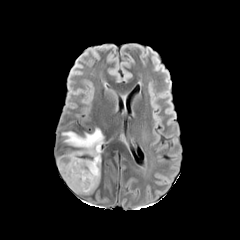
FLAIR MR image.
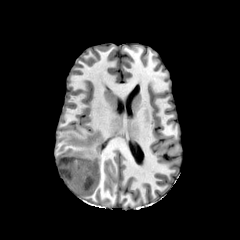
T1-weighted MR image.
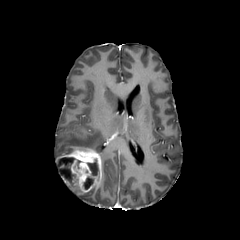
Post-contrast T1-weighted MR of the same slice.
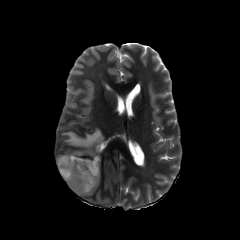
Same slice, T2-weighted MRI.
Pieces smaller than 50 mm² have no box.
enhancing tumor: (56,148,101,193)
necrotic tumor core: (57,157,77,188), (87,159,98,175), (83,177,93,189)
peritumoral edema: (62,128,103,155)